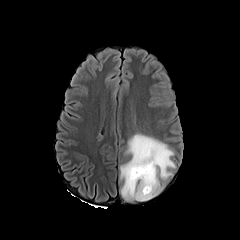
FLAIR MR.
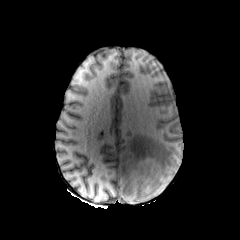
T1-weighted magnetic resonance of the same slice.
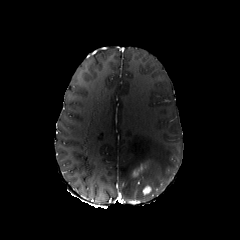
Post-contrast T1-weighted MR image of the same slice.
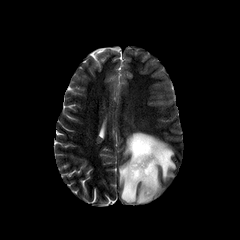
T2-weighted MRI of the same slice.
240x240 px | Head
* enhancing tumor: [132, 163, 147, 176], [142, 185, 151, 195]
* peritumoral edema: [119, 132, 175, 200]